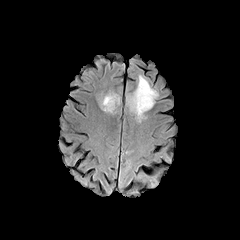
FLAIR magnetic resonance.
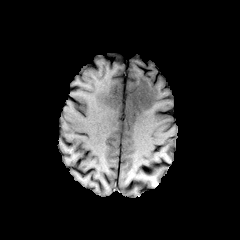
T1-weighted MR.
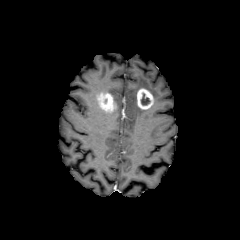
Post-contrast T1-weighted MR image of the same slice.
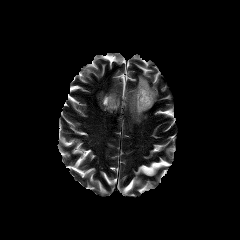
T2-weighted MRI.
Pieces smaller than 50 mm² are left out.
The necrotic tumor core appears at box=[141, 94, 149, 104]. The 2 largest peritumoral edema regions are bounded by box=[107, 92, 119, 106]; box=[126, 75, 158, 122]. 2 enhancing tumor regions are bounded by box=[136, 88, 154, 109]; box=[97, 92, 117, 112].